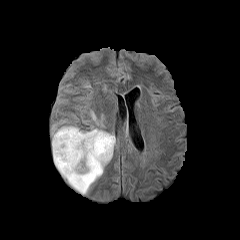
FLAIR MRI.
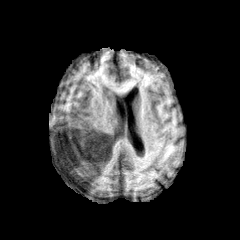
Same slice, T1-weighted MR.
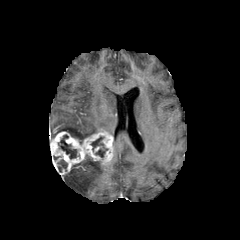
Same slice, post-contrast T1-weighted MR.
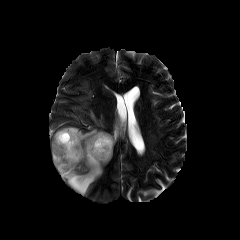
T2-weighted magnetic resonance.
Axial view | Head | Image size 240x240
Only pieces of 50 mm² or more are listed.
peritumoral edema: x1=52, y1=126, x2=99, y2=143; x1=63, y1=156, x2=104, y2=194; x1=90, y1=111, x2=104, y2=127 | necrotic tumor core: x1=91, y1=136, x2=107, y2=157; x1=57, y1=159, x2=67, y2=171; x1=58, y1=135, x2=76, y2=158 | enhancing tumor: x1=50, y1=129, x2=113, y2=175